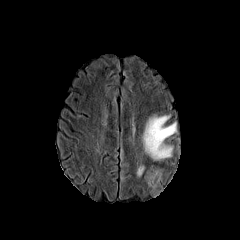
FLAIR MR image.
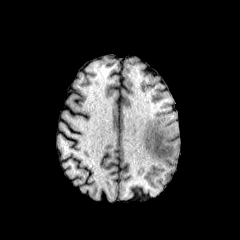
T1-weighted MRI.
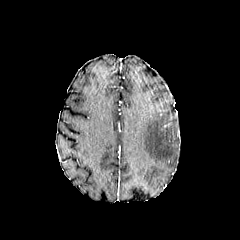
Same slice, post-contrast T1-weighted MR image.
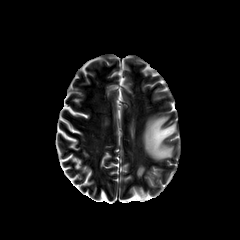
T2-weighted MR of the same slice.
Brain. 240x240 px.
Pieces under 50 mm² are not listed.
Annotated regions:
• peritumoral edema: box=[142, 115, 177, 160]; box=[137, 165, 144, 176]; box=[145, 167, 161, 187]